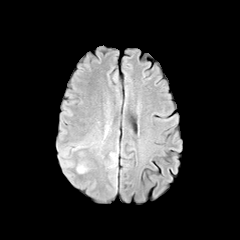
FLAIR MR image.
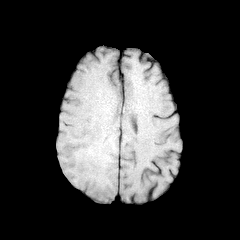
Same slice, T1-weighted MR.
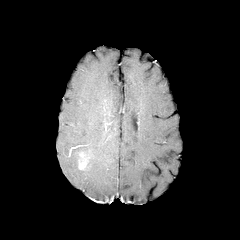
Post-contrast T1-weighted MRI.
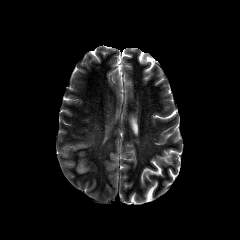
T2-weighted MRI.
Brain | Axial plane
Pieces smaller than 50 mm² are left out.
peritumoral edema: <bbox>76, 164, 87, 173</bbox> | enhancing tumor: <bbox>79, 160, 86, 169</bbox>